240x240, Head
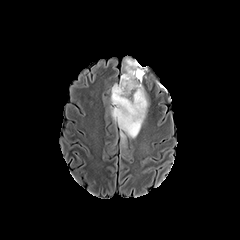
FLAIR MRI.
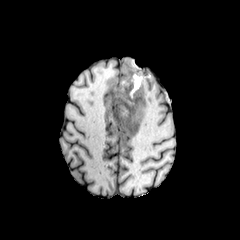
T1-weighted MR of the same slice.
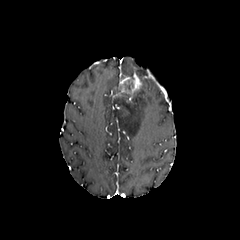
Post-contrast T1-weighted MR image.
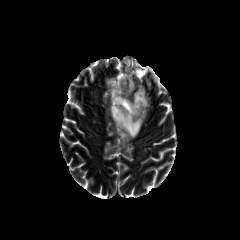
T2-weighted MRI.
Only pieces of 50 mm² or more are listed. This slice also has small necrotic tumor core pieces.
peritumoral edema: bounding box (121,58,144,79), (111,83,149,145)
enhancing tumor: bounding box (112,68,141,98)